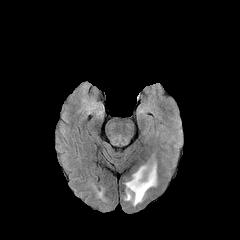
FLAIR magnetic resonance.
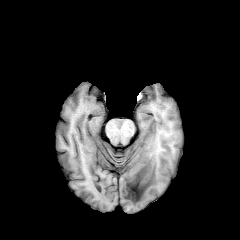
T1-weighted magnetic resonance.
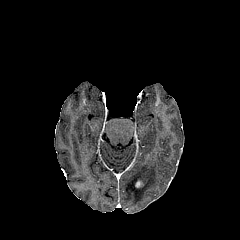
Post-contrast T1-weighted MRI.
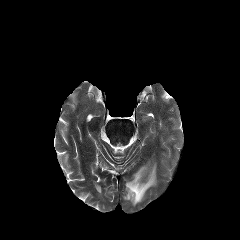
T2-weighted MR image.
Head
The peritumoral edema lies within 125, 163, 156, 205. The enhancing tumor is located at 135, 180, 143, 187.